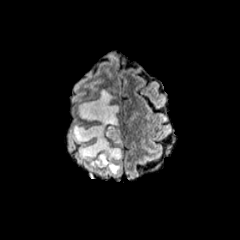
FLAIR magnetic resonance.
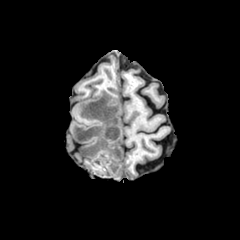
T1-weighted MR.
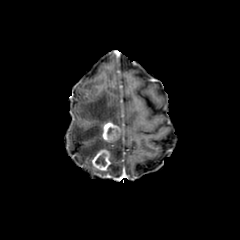
Same slice, post-contrast T1-weighted magnetic resonance.
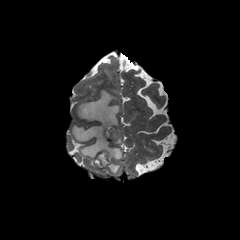
T2-weighted MRI of the same slice.
Brain
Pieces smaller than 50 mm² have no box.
necrotic tumor core at 95,152,106,167
peritumoral edema at 113,133,121,144; 72,90,122,175
enhancing tumor at 91,148,110,170; 101,120,120,141